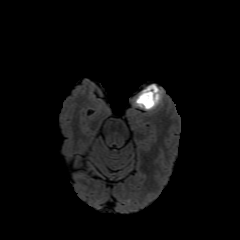
FLAIR MR image.
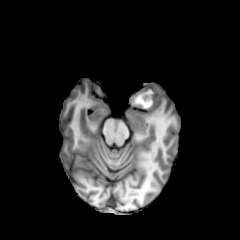
Same slice, T1-weighted MR.
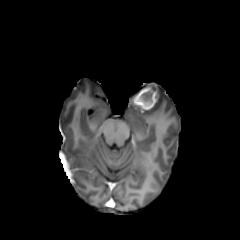
Post-contrast T1-weighted MR.
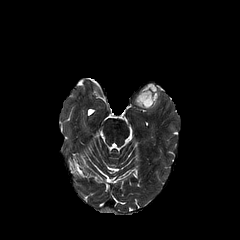
T2-weighted MR.
Image size 240x240. Brain. Axial slice.
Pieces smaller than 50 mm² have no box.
enhancing tumor at x1=134, y1=84, x2=160, y2=109
necrotic tumor core at x1=140, y1=87, x2=155, y2=105
peritumoral edema at x1=149, y1=87, x2=162, y2=110